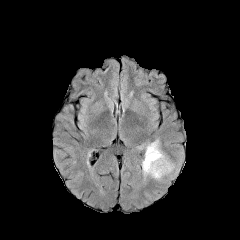
FLAIR MRI.
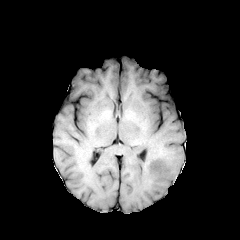
Same slice, T1-weighted MR image.
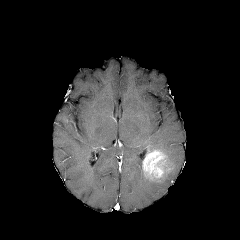
Post-contrast T1-weighted MR of the same slice.
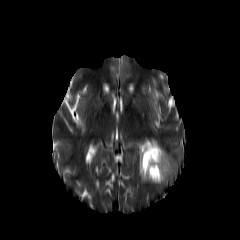
T2-weighted MR image.
Axial plane, Brain
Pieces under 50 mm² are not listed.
enhancing_tumor:
  - box=[142, 148, 172, 181]
peritumoral_edema:
  - box=[162, 156, 177, 181]
  - box=[137, 139, 162, 154]